FLAIR MR image.
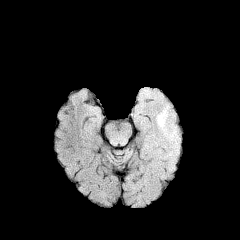
T1-weighted MR.
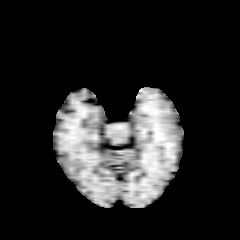
Post-contrast T1-weighted MR image.
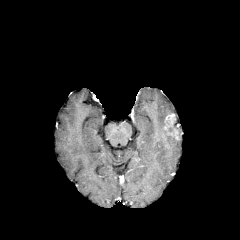
T2-weighted MRI.
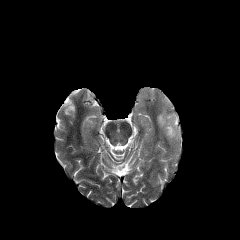
Axial plane
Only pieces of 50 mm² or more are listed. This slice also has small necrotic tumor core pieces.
The enhancing tumor is located at [164, 113, 179, 140]. The largest peritumoral edema region lies within [157, 110, 178, 151].